Brain | Axial plane
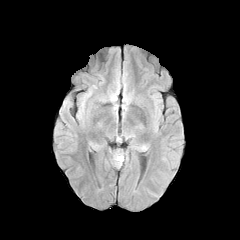
FLAIR MR.
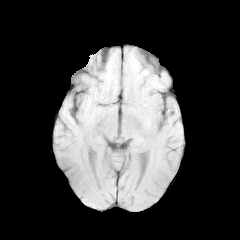
T1-weighted MRI of the same slice.
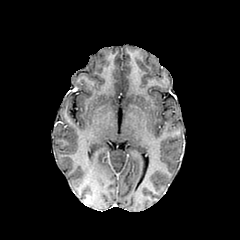
Same slice, post-contrast T1-weighted magnetic resonance.
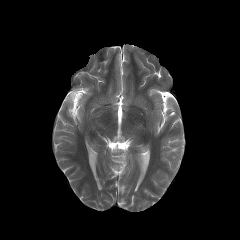
Same slice, T2-weighted MR image.
peritumoral_edema:
  - bbox=[113, 151, 124, 167]